FLAIR MR.
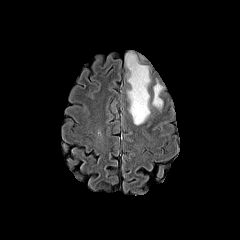
T1-weighted MR.
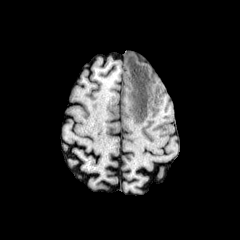
Post-contrast T1-weighted MRI.
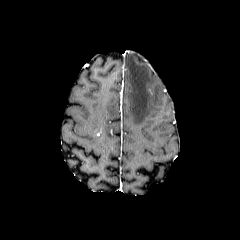
T2-weighted MR image.
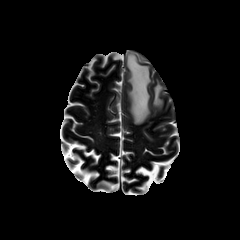
<segmentation>
  <peritumoral_edema>125,53,150,124; 152,82,162,108</peritumoral_edema>
</segmentation>